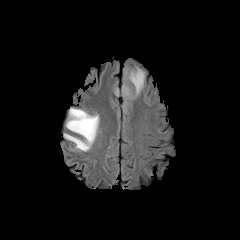
FLAIR MRI.
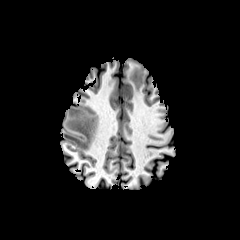
T1-weighted MRI of the same slice.
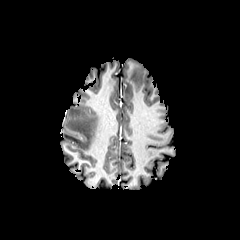
Post-contrast T1-weighted MR image.
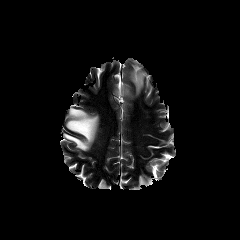
Same slice, T2-weighted MRI.
Image size 240x240
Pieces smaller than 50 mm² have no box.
Annotated regions:
- peritumoral edema: 122 66 145 99, 63 108 99 151